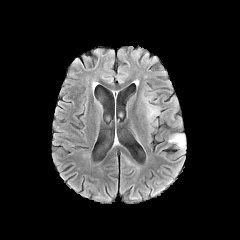
FLAIR magnetic resonance.
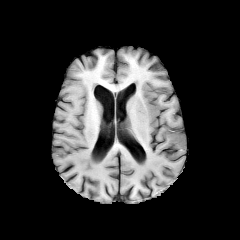
T1-weighted MR image of the same slice.
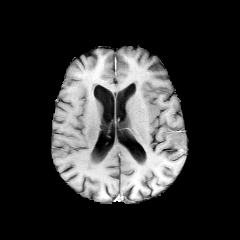
Post-contrast T1-weighted MRI.
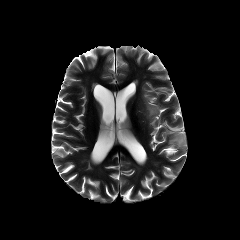
Same slice, T2-weighted magnetic resonance.
peritumoral edema: [166, 130, 188, 148], [147, 103, 158, 120]